Image size 240x240, Slice 81/155, Image covers 240 mm x 240 mm, Head
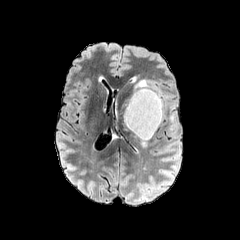
FLAIR MR image.
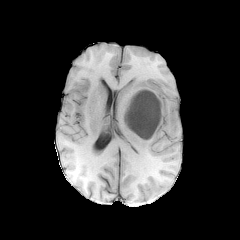
T1-weighted MR image.
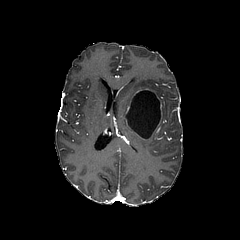
Same slice, post-contrast T1-weighted MR.
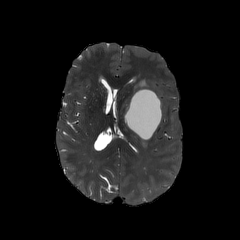
T2-weighted MRI.
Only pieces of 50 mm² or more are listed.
The necrotic tumor core lies within [126,90,160,138]. The 3 largest peritumoral edema regions are bounded by [120,99,129,114], [136,80,146,87], [122,112,129,130]. The largest enhancing tumor region appears at [126,88,162,122].